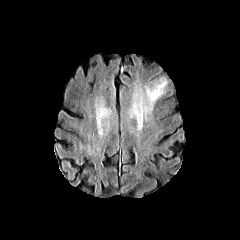
FLAIR MR.
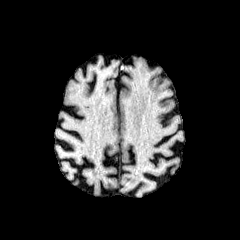
T1-weighted MRI.
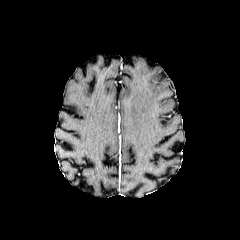
Post-contrast T1-weighted MR image.
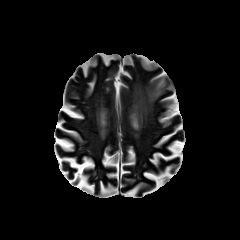
T2-weighted MR of the same slice.
Head; 240x240 px
peritumoral_edema:
  - <bbox>132, 79, 166, 119</bbox>